FLAIR MR image.
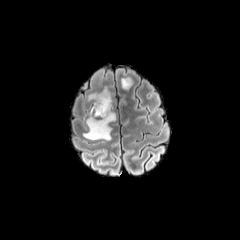
T1-weighted magnetic resonance.
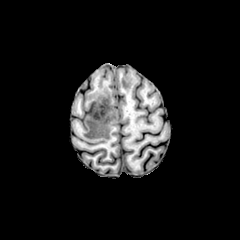
Post-contrast T1-weighted MR image.
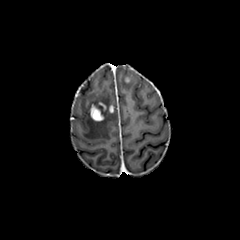
T2-weighted MRI.
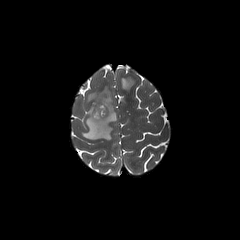
Brain
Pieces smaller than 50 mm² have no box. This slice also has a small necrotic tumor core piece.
The largest enhancing tumor region is at box=[90, 102, 107, 121]. The 2 largest peritumoral edema regions are located at box=[120, 76, 136, 93]; box=[83, 86, 116, 140].